FLAIR MRI.
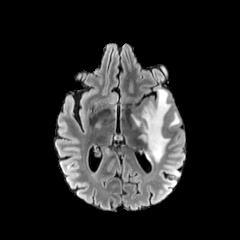
T1-weighted MR image.
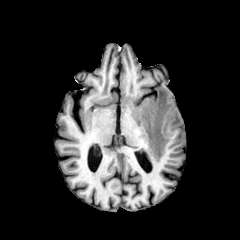
Post-contrast T1-weighted magnetic resonance.
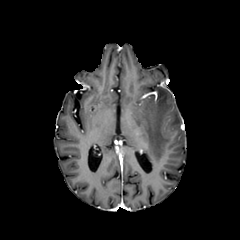
T2-weighted MR image.
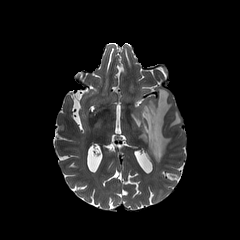
peritumoral_edema:
  - box=[170, 111, 180, 126]
  - box=[131, 88, 172, 161]